FLAIR MR image.
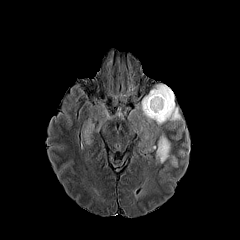
T1-weighted MR.
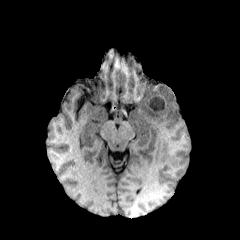
Post-contrast T1-weighted MRI.
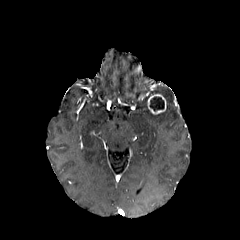
T2-weighted magnetic resonance.
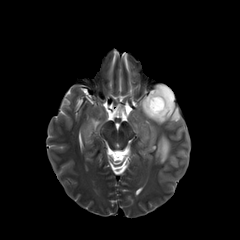
Brain, 240x240 px, Axial plane
peritumoral edema: l=141, t=85, r=180, b=125; l=171, t=156, r=177, b=166; l=156, t=135, r=170, b=163 | necrotic tumor core: l=150, t=96, r=164, b=111 | enhancing tumor: l=147, t=94, r=166, b=114